Slice 113 of 155; Image width 240 mm, 1.00 mm slice spacing; Axial slice
FLAIR MR image.
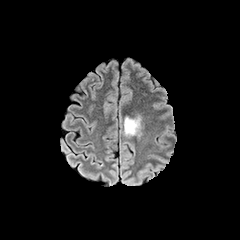
T1-weighted MR.
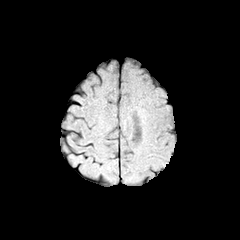
Post-contrast T1-weighted MR image.
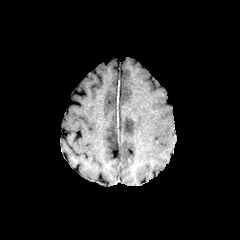
T2-weighted MR image.
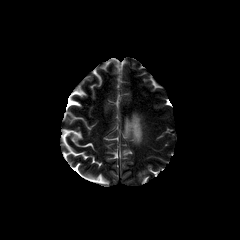
{
  "peritumoral_edema": [
    "(124, 117, 140, 137)"
  ]
}